Head
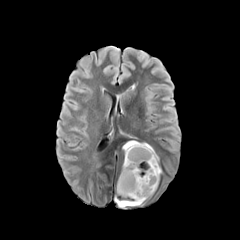
FLAIR magnetic resonance.
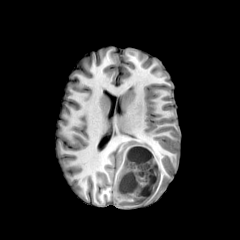
T1-weighted magnetic resonance.
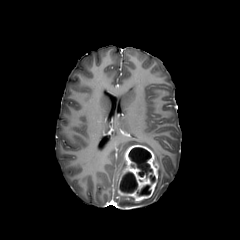
Post-contrast T1-weighted MRI.
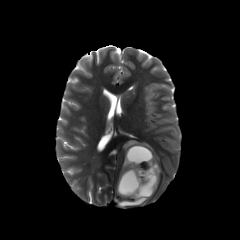
T2-weighted MR image.
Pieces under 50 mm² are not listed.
enhancing tumor = (x1=118, y1=145, x2=158, y2=202)
peritumoral edema = (x1=123, y1=140, x2=161, y2=190), (x1=115, y1=198, x2=146, y2=207)
necrotic tumor core = (x1=137, y1=185, x2=150, y2=195), (x1=119, y1=172, x2=137, y2=193), (x1=128, y1=147, x2=152, y2=177)